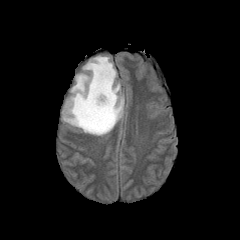
FLAIR MRI.
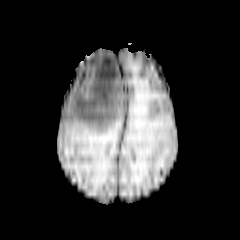
T1-weighted MRI.
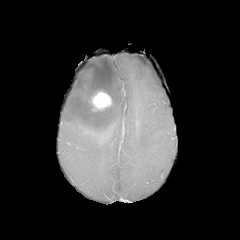
Same slice, post-contrast T1-weighted magnetic resonance.
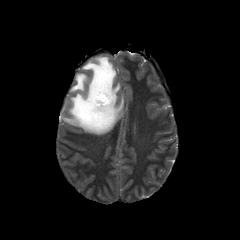
T2-weighted MR of the same slice.
Axial slice
Segmented structures:
• enhancing tumor: [90,90,112,111]
• peritumoral edema: [62,56,124,135]